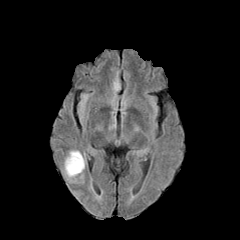
FLAIR MR image.
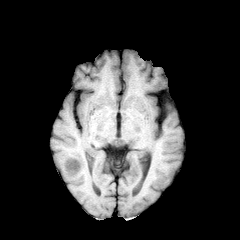
T1-weighted MRI.
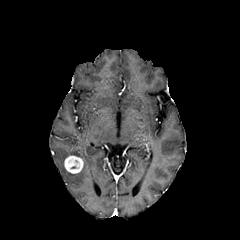
Post-contrast T1-weighted MR of the same slice.
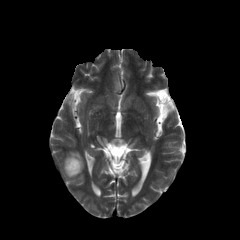
T2-weighted MR.
Brain
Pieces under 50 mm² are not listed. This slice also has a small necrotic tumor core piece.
enhancing tumor: bounding box l=64, t=156, r=83, b=173
peritumoral edema: bounding box l=62, t=150, r=84, b=182